FLAIR MRI.
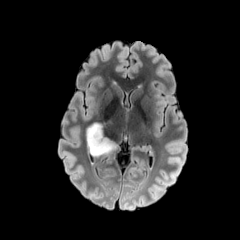
T1-weighted MR image.
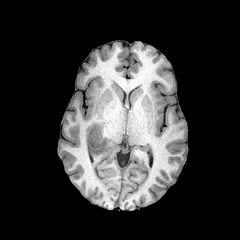
Post-contrast T1-weighted magnetic resonance.
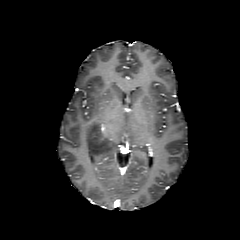
T2-weighted MRI.
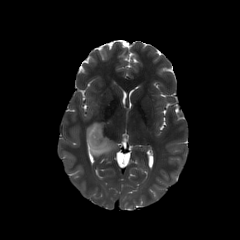
Head, Image size 240x240
Findings:
- peritumoral edema: (86, 119, 120, 156)